Slice index 56; Axial view
FLAIR MR image.
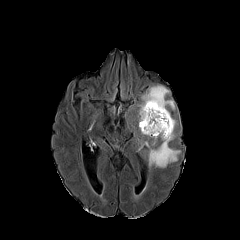
T1-weighted MRI.
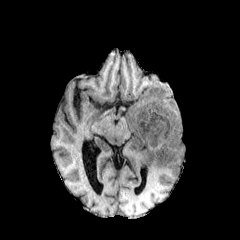
Post-contrast T1-weighted MRI.
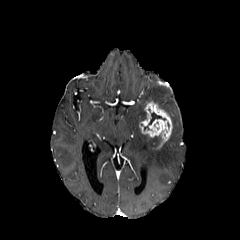
T2-weighted MR image.
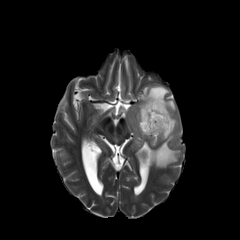
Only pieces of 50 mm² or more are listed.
The largest peritumoral edema region is bounded by [137, 85, 180, 167]. The largest necrotic tumor core region appears at [148, 112, 165, 125]. The enhancing tumor appears at [139, 101, 172, 147].